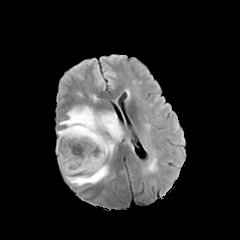
FLAIR MRI.
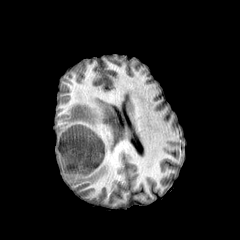
T1-weighted MR image.
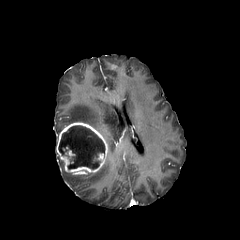
Post-contrast T1-weighted MR image of the same slice.
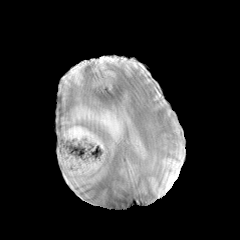
Same slice, T2-weighted magnetic resonance.
Brain
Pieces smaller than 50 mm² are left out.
Annotated regions:
- necrotic tumor core: 58, 126, 104, 169
- peritumoral edema: 58, 159, 108, 186; 59, 105, 122, 156
- enhancing tumor: 56, 122, 108, 175